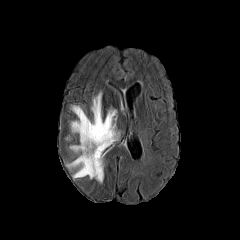
FLAIR MRI.
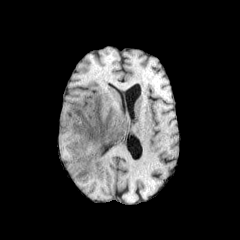
T1-weighted magnetic resonance of the same slice.
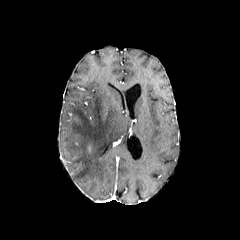
Post-contrast T1-weighted MRI of the same slice.
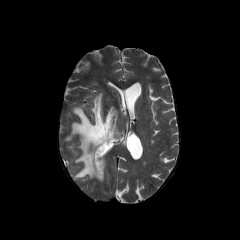
T2-weighted MR.
Head | 240x240
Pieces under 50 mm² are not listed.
{"peritumoral_edema": ["[68,93,119,182]"]}